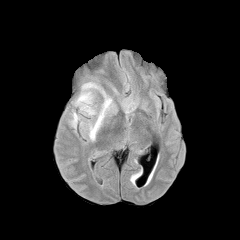
FLAIR MR image.
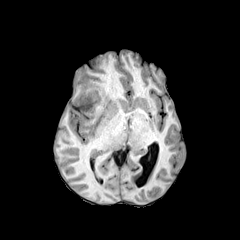
T1-weighted MR of the same slice.
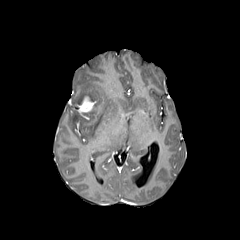
Post-contrast T1-weighted MRI.
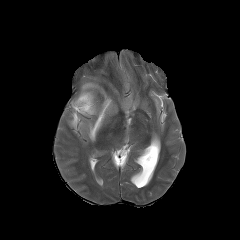
Same slice, T2-weighted MRI.
Head | Axial plane
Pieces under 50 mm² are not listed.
Segmented structures:
• enhancing tumor: 76 96 95 112
• peritumoral edema: 75 82 111 140, 71 112 79 126